Head, Slice index 94, Axial plane, 240x240 px
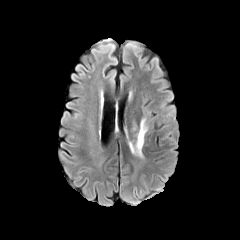
FLAIR MR image.
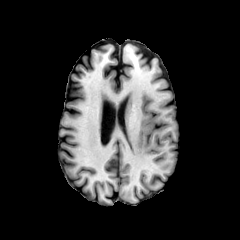
Same slice, T1-weighted magnetic resonance.
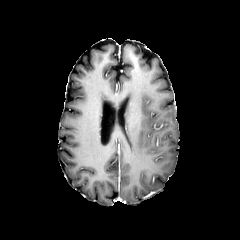
Post-contrast T1-weighted magnetic resonance of the same slice.
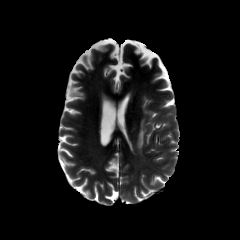
T2-weighted MR.
peritumoral edema = [129,117,147,157]